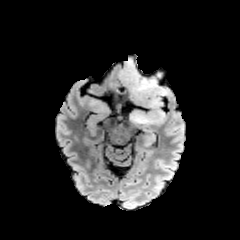
FLAIR MR.
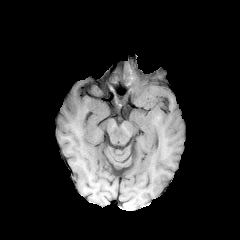
T1-weighted MR image of the same slice.
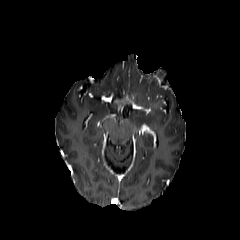
Post-contrast T1-weighted MRI.
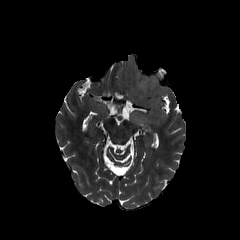
T2-weighted MR image.
Axial plane.
<segmentation>
  <peritumoral_edema>(120,63,167,124)</peritumoral_edema>
</segmentation>